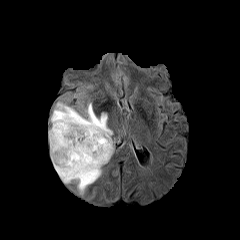
FLAIR magnetic resonance.
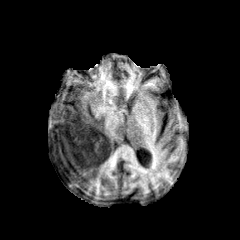
T1-weighted MR of the same slice.
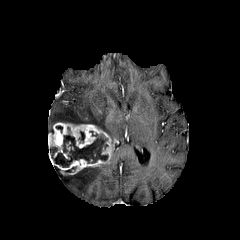
Post-contrast T1-weighted MRI.
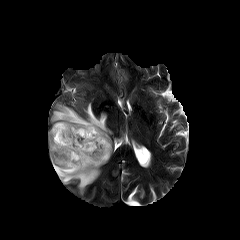
T2-weighted MR image.
Axial view | 240x240 px
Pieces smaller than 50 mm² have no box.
necrotic_tumor_core:
  - 49:135:108:167
enhancing_tumor:
  - 48:122:113:175
peritumoral_edema:
  - 48:102:112:136
  - 54:165:102:193